FLAIR MR.
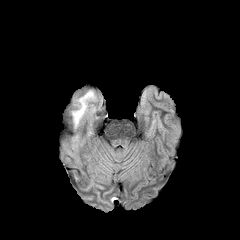
T1-weighted MRI.
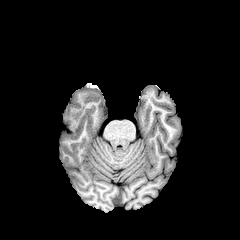
Post-contrast T1-weighted MR.
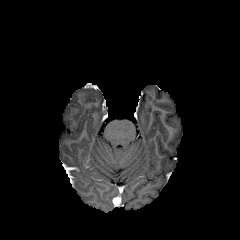
T2-weighted MRI.
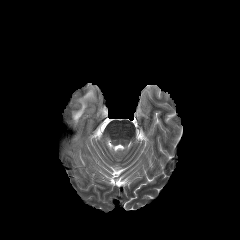
240x240 px | Axial plane
peritumoral edema — bbox(72, 91, 94, 125)